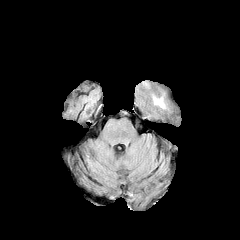
FLAIR MRI.
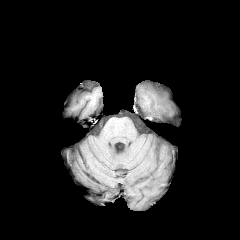
Same slice, T1-weighted MR.
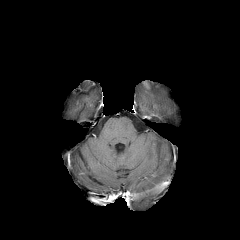
Post-contrast T1-weighted MRI of the same slice.
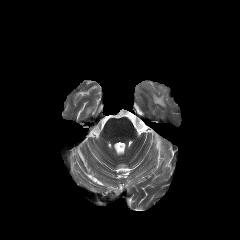
T2-weighted MR.
Axial plane. 240x240.
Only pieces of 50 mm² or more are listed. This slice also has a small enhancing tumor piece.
Annotated regions:
• peritumoral edema: [x1=152, y1=94, x2=165, y2=108]